Brain, Axial slice
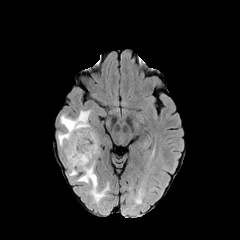
FLAIR MRI.
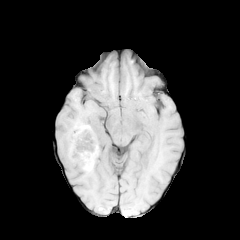
T1-weighted MR.
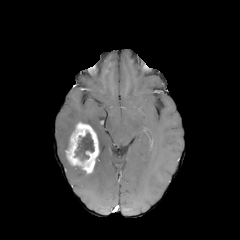
Post-contrast T1-weighted magnetic resonance of the same slice.
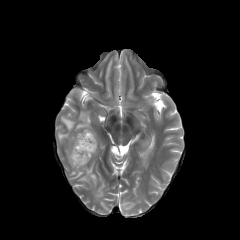
T2-weighted MR.
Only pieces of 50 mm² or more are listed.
Segmented structures:
- necrotic tumor core: box=[75, 133, 94, 160]
- peritumoral edema: box=[57, 110, 92, 149]; box=[67, 160, 108, 202]
- enhancing tumor: box=[65, 122, 99, 173]